FLAIR MR.
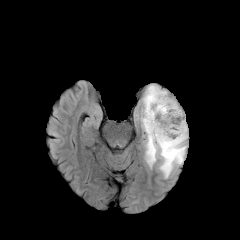
T1-weighted MR image.
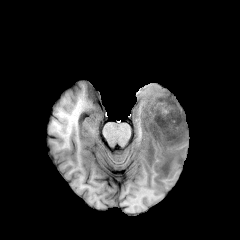
Post-contrast T1-weighted MR.
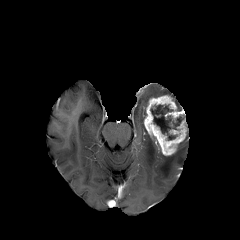
T2-weighted MR image.
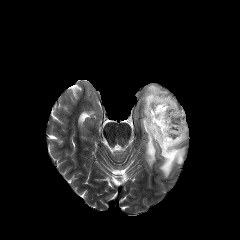
Head. Axial slice.
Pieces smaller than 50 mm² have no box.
peritumoral edema — region(141, 84, 187, 178)
necrotic tumor core — region(151, 105, 175, 140); region(173, 117, 182, 129)
enhancing tumor — region(143, 95, 187, 155)